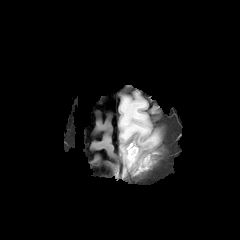
FLAIR MR.
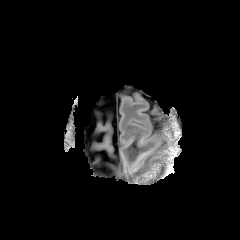
Same slice, T1-weighted MR.
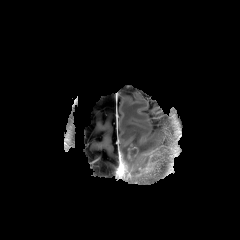
Post-contrast T1-weighted MR.
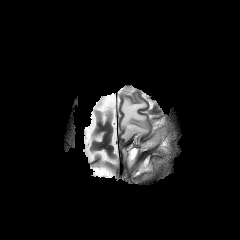
Same slice, T2-weighted MRI.
Axial view
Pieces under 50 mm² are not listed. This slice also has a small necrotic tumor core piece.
* peritumoral edema: (131,155,151,175), (120,97,149,140), (122,143,138,170), (142,135,158,146)
* enhancing tumor: (127,145,137,161), (134,158,152,175)